Slice index 79, Brain, Axial view, Image covers 240 mm x 240 mm
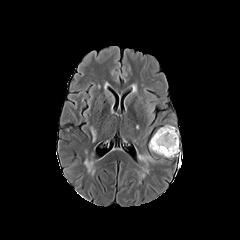
FLAIR MR.
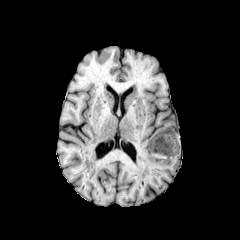
T1-weighted MR of the same slice.
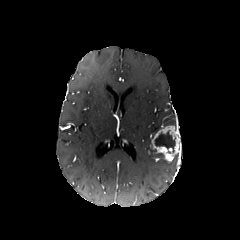
Post-contrast T1-weighted magnetic resonance.
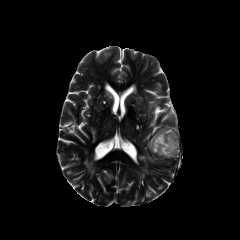
Same slice, T2-weighted magnetic resonance.
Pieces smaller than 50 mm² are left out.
peritumoral edema: [138, 155, 153, 165] | enhancing tumor: [150, 125, 180, 160] | necrotic tumor core: [155, 131, 175, 152]